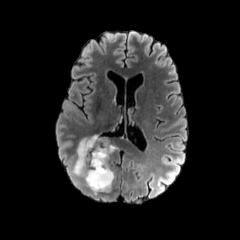
FLAIR MR.
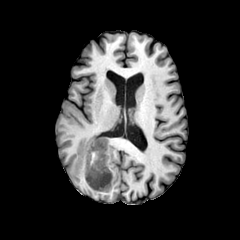
T1-weighted MR image.
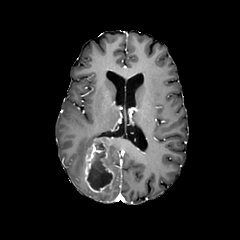
Post-contrast T1-weighted MR image.
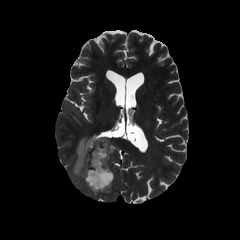
T2-weighted MR.
Image size 240x240; Head
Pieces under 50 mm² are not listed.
enhancing_tumor:
  - x1=84, y1=138, x2=113, y2=192
necrotic_tumor_core:
  - x1=87, y1=142, x2=112, y2=190
peritumoral_edema:
  - x1=74, y1=135, x2=98, y2=175